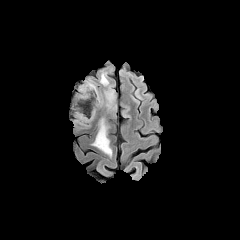
FLAIR magnetic resonance.
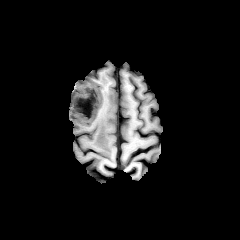
T1-weighted MR image of the same slice.
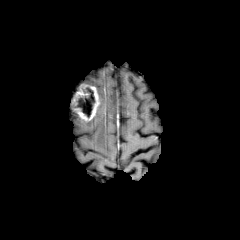
Post-contrast T1-weighted MR image.
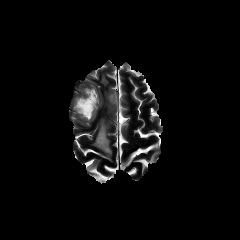
T2-weighted magnetic resonance of the same slice.
Head. Axial view.
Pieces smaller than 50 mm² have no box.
necrotic tumor core — 76 87 95 117
enhancing tumor — 73 84 99 121
peritumoral edema — 93 119 111 155, 106 90 116 110, 100 73 108 85